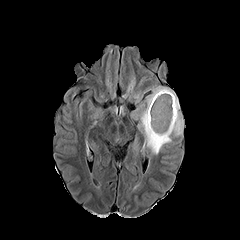
FLAIR MR image.
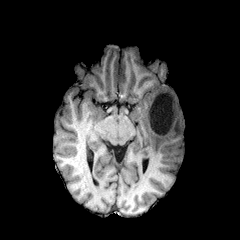
T1-weighted MRI.
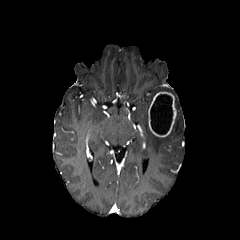
Post-contrast T1-weighted magnetic resonance.
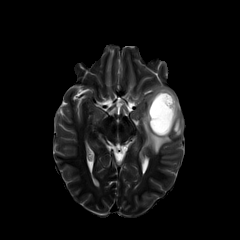
T2-weighted MR.
Image size 240x240; Head
<segmentation>
  <peritumoral_edema>[x1=140, y1=86, x2=183, y2=154]</peritumoral_edema>
  <necrotic_tumor_core>[x1=150, y1=94, x2=173, y2=134]</necrotic_tumor_core>
  <enhancing_tumor>[x1=148, y1=91, x2=176, y2=137]</enhancing_tumor>
</segmentation>